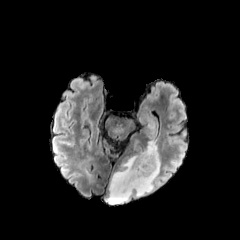
FLAIR MR.
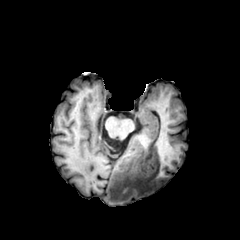
Same slice, T1-weighted MRI.
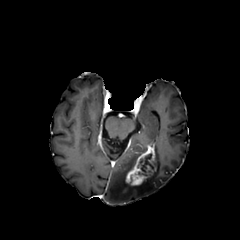
Post-contrast T1-weighted MR image.
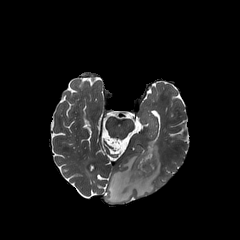
T2-weighted MR image of the same slice.
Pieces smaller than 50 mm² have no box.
Annotated regions:
• enhancing tumor: (125, 144, 156, 186)
• peritumoral edema: (105, 141, 161, 204)
• necrotic tumor core: (141, 152, 153, 172)